Brain. Image covers 240 mm x 240 mm. Axial slice. 240x240.
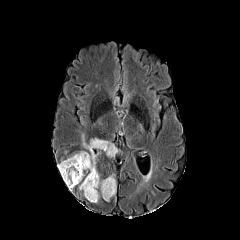
FLAIR MR.
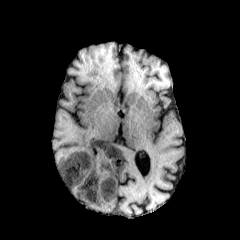
T1-weighted MRI.
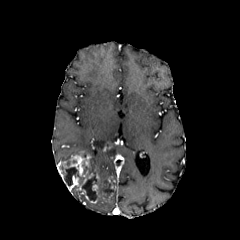
Post-contrast T1-weighted MRI.
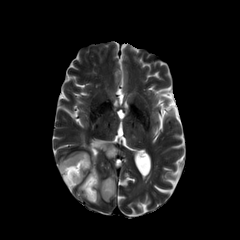
T2-weighted MR image.
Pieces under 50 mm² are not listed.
Segmented structures:
- enhancing tumor: 108 176 115 189, 57 151 103 202
- peritumoral edema: 102 183 116 201, 82 135 117 174
- necrotic tumor core: 99 181 113 194, 82 174 97 200, 64 167 77 186